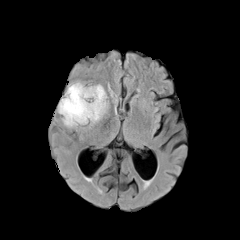
FLAIR magnetic resonance.
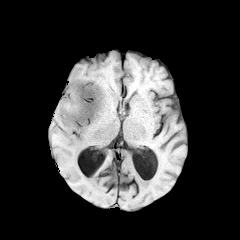
Same slice, T1-weighted magnetic resonance.
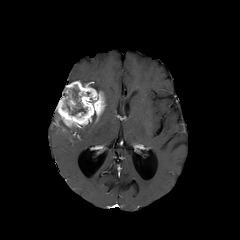
Post-contrast T1-weighted MRI.
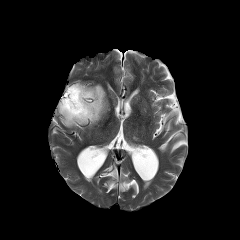
Same slice, T2-weighted magnetic resonance.
Brain
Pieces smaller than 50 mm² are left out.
peritumoral edema: 91:85:108:120 | necrotic tumor core: 72:108:85:114 | enhancing tumor: 56:81:106:128